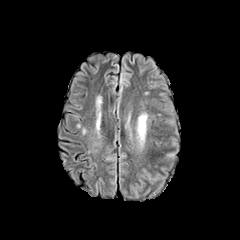
FLAIR MRI.
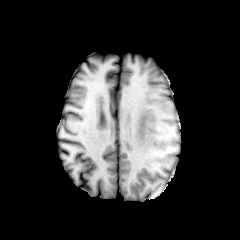
T1-weighted MRI.
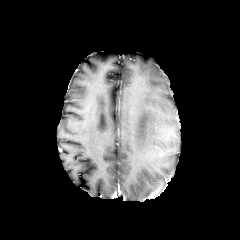
Post-contrast T1-weighted MR.
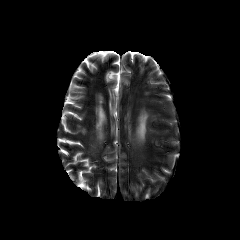
T2-weighted MRI.
Brain | Axial view
peritumoral edema at <bbox>137, 114, 146, 140</bbox>